FLAIR magnetic resonance.
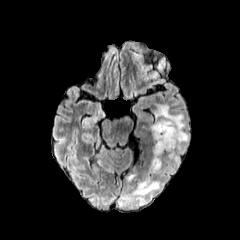
T1-weighted MR image.
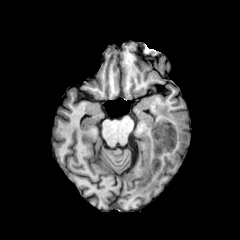
Post-contrast T1-weighted MR image.
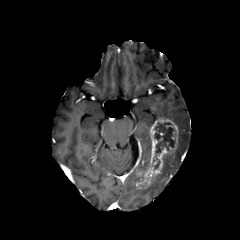
T2-weighted magnetic resonance.
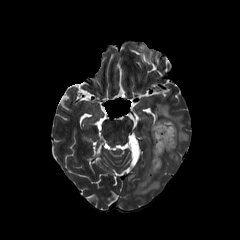
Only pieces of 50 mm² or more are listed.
necrotic tumor core — (155, 122, 174, 156)
enhancing tumor — (136, 118, 178, 188)
peritumoral edema — (155, 104, 189, 167), (134, 180, 159, 195)